FLAIR MRI.
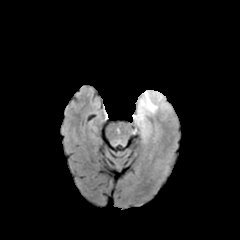
T1-weighted magnetic resonance.
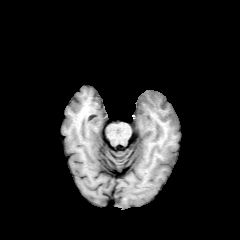
Post-contrast T1-weighted MR image.
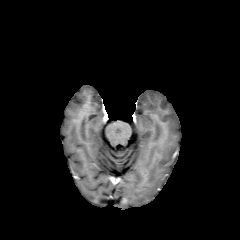
T2-weighted MRI.
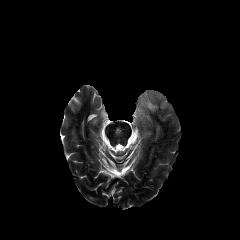
240x240; Head; Axial slice
peritumoral edema at (134, 90, 171, 135)